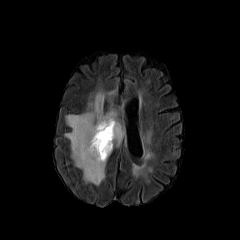
FLAIR MRI.
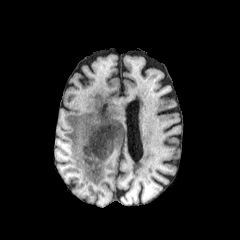
Same slice, T1-weighted MR.
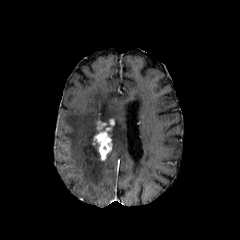
Same slice, post-contrast T1-weighted MR.
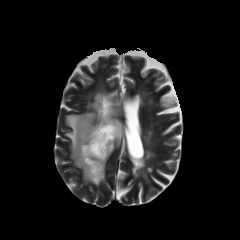
Same slice, T2-weighted MR.
Brain
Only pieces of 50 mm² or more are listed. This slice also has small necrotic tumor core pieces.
enhancing tumor — [92,119,114,160]
peritumoral edema — [65,92,124,185]